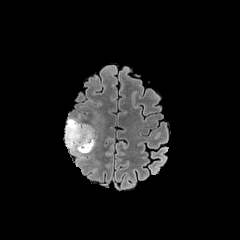
FLAIR magnetic resonance.
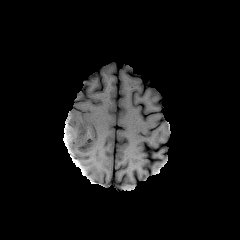
T1-weighted magnetic resonance of the same slice.
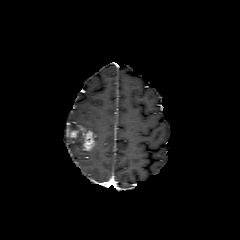
Post-contrast T1-weighted MR of the same slice.
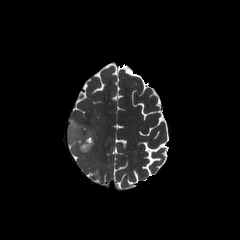
Same slice, T2-weighted magnetic resonance.
Head. 240x240 px.
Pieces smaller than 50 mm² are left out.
2 enhancing tumor regions are bounded by 66:129:78:137, 80:127:94:150. The largest peritumoral edema region lies within 65:118:94:153.